FLAIR MR image.
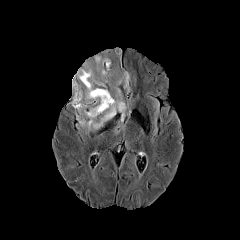
T1-weighted magnetic resonance.
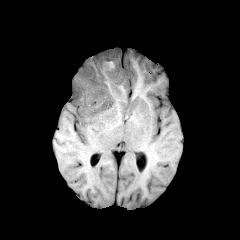
Post-contrast T1-weighted MR image.
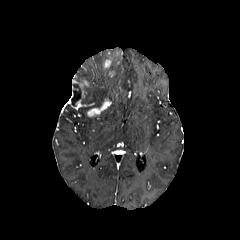
T2-weighted magnetic resonance.
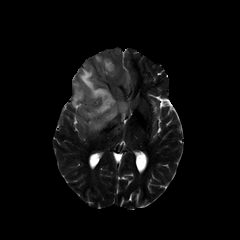
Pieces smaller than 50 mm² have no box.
The peritumoral edema appears at <box>76,49,130,133</box>. The necrotic tumor core is located at <box>70,84,81,105</box>. The 2 largest enhancing tumor regions appear at <box>86,98,111,117</box>, <box>70,78,89,110</box>.